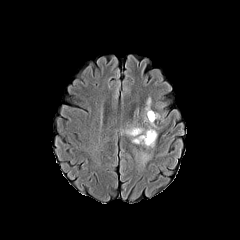
FLAIR magnetic resonance.
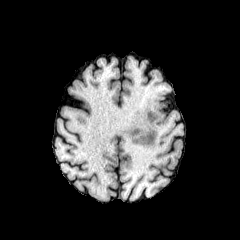
T1-weighted MR image.
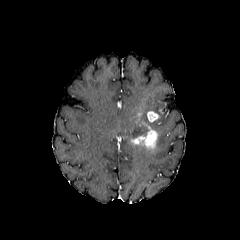
Post-contrast T1-weighted magnetic resonance of the same slice.
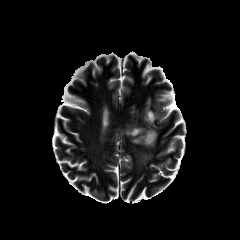
Same slice, T2-weighted MR image.
Axial plane.
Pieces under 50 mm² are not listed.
enhancing tumor — x1=131 y1=126 x2=157 y2=148, x1=147 y1=111 x2=159 y2=122
peritumoral edema — x1=136 y1=152 x2=150 y2=167, x1=120 y1=96 x2=162 y2=138